FLAIR MR image.
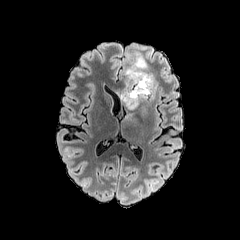
T1-weighted MRI.
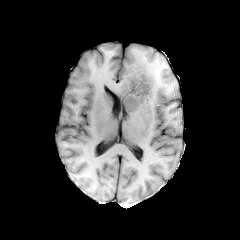
Post-contrast T1-weighted magnetic resonance.
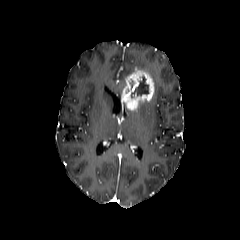
T2-weighted MR.
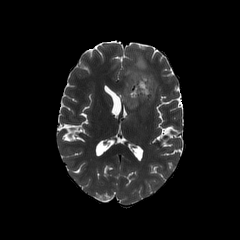
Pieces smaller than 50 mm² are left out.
Segmented structures:
* peritumoral edema: {"x1": 122, "y1": 49, "x2": 158, "y2": 101}
* enhancing tumor: {"x1": 121, "y1": 67, "x2": 154, "y2": 111}
* necrotic tumor core: {"x1": 131, "y1": 76, "x2": 148, "y2": 97}